FLAIR MR.
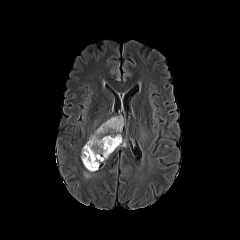
T1-weighted MR.
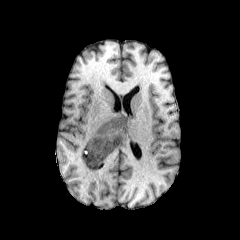
Post-contrast T1-weighted MR image.
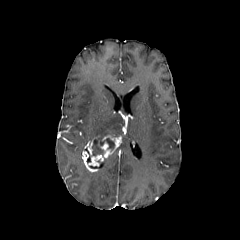
T2-weighted MR.
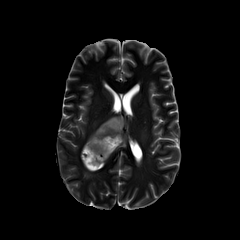
Head; 240x240 px; Axial slice
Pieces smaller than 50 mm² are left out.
peritumoral_edema:
  - [x1=88, y1=116, x2=123, y2=140]
necrotic_tumor_core:
  - [x1=92, y1=136, x2=114, y2=155]
enhancing_tumor:
  - [x1=82, y1=135, x2=121, y2=171]